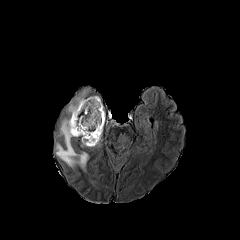
FLAIR MRI.
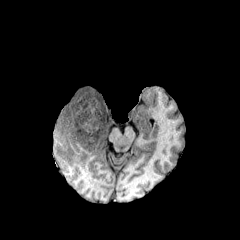
T1-weighted MR image.
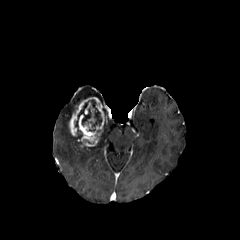
Same slice, post-contrast T1-weighted MRI.
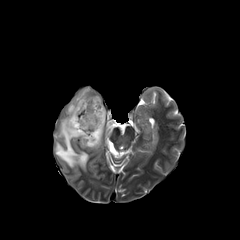
T2-weighted magnetic resonance.
Head; Axial plane
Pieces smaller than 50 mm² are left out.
The largest necrotic tumor core region is located at region(75, 100, 101, 127). The largest peritumoral edema region lies within region(55, 88, 99, 171). The enhancing tumor is located at region(69, 97, 105, 147).